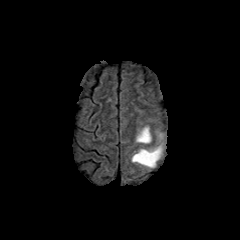
FLAIR MRI.
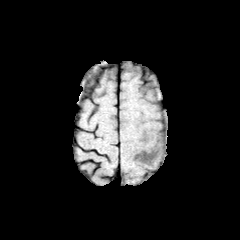
Same slice, T1-weighted magnetic resonance.
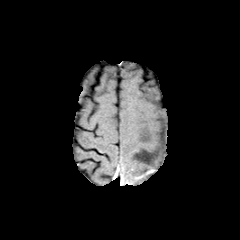
Same slice, post-contrast T1-weighted MRI.
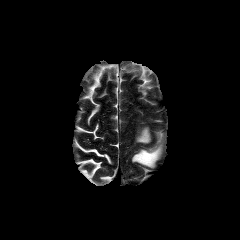
Same slice, T2-weighted MR.
Brain
peritumoral edema: bounding box {"x1": 135, "y1": 126, "x2": 151, "y2": 144}, {"x1": 131, "y1": 131, "x2": 164, "y2": 168}